240x240 px | Axial view | Slice 120/155
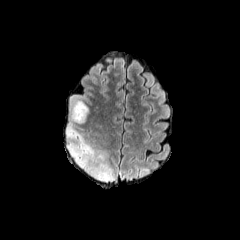
FLAIR MRI.
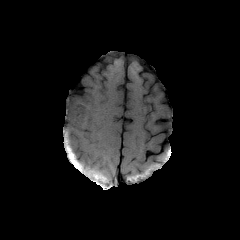
T1-weighted MR image.
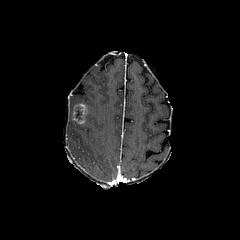
Post-contrast T1-weighted magnetic resonance of the same slice.
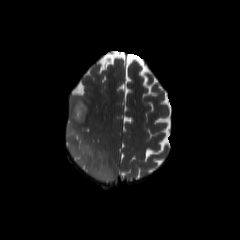
Same slice, T2-weighted MRI.
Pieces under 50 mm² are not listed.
necrotic_tumor_core:
  - box(75, 106, 82, 120)
peritumoral_edema:
  - box(66, 122, 113, 182)
  - box(71, 97, 83, 120)
enhancing_tumor:
  - box(73, 103, 86, 123)